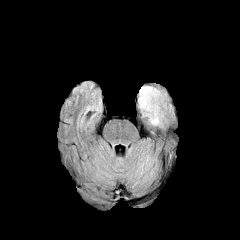
FLAIR MRI.
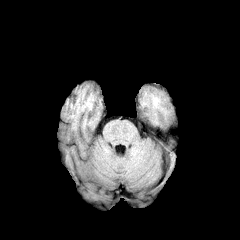
Same slice, T1-weighted magnetic resonance.
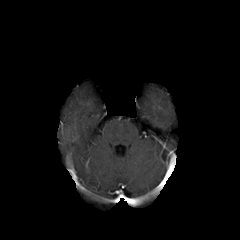
Post-contrast T1-weighted MR.
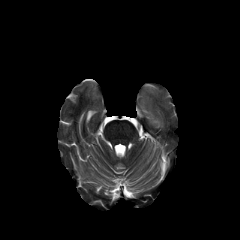
T2-weighted MR image.
Head | Axial view
Annotated regions:
- peritumoral edema: (x1=138, y1=86, x2=165, y2=124)